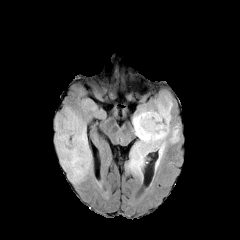
FLAIR MRI.
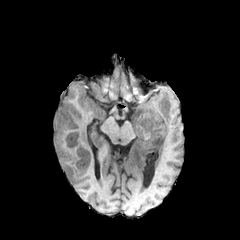
Same slice, T1-weighted magnetic resonance.
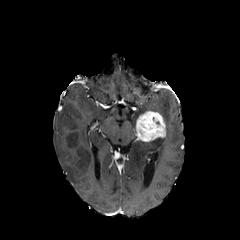
Post-contrast T1-weighted MR image.
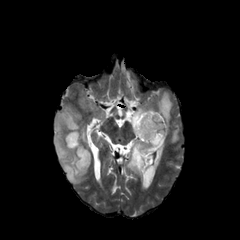
T2-weighted magnetic resonance.
240x240 px
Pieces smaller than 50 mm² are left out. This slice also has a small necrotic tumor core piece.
{"peritumoral_edema": ["125, 93, 179, 178", "55, 106, 91, 183"], "enhancing_tumor": ["135, 111, 166, 142"]}